Slice 124 of 155 | Image width 240 mm | Image size 240x240
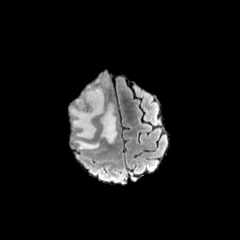
FLAIR MR.
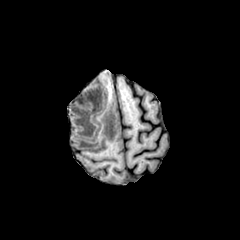
T1-weighted MR image.
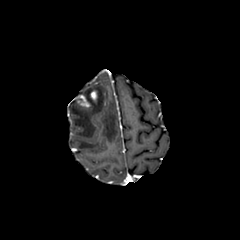
Post-contrast T1-weighted MR image of the same slice.
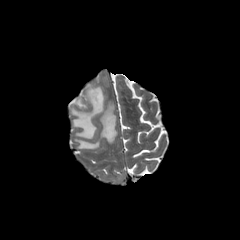
T2-weighted MRI.
enhancing tumor: (77, 95, 90, 108), (90, 90, 97, 101) | peritumoral edema: (71, 86, 117, 149)